Head; Image width 240 mm
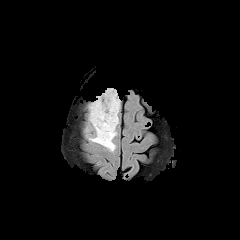
FLAIR magnetic resonance.
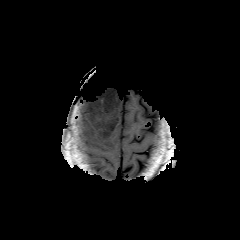
Same slice, T1-weighted MR image.
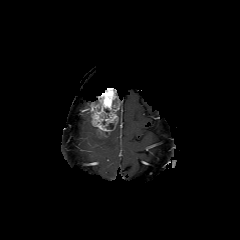
Post-contrast T1-weighted magnetic resonance.
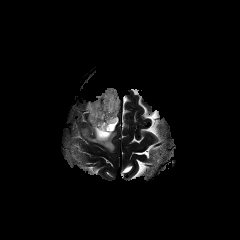
Same slice, T2-weighted MR image.
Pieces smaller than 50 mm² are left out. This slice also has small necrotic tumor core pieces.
The largest peritumoral edema region is at 85 124 116 151. The enhancing tumor is at 87 88 120 138.